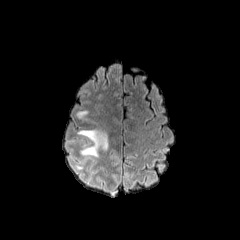
FLAIR MR image.
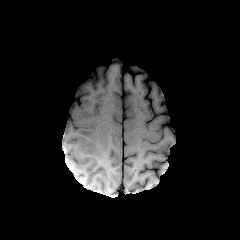
T1-weighted magnetic resonance.
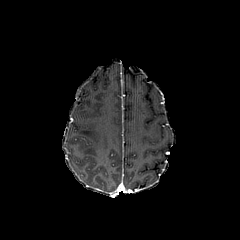
Post-contrast T1-weighted magnetic resonance of the same slice.
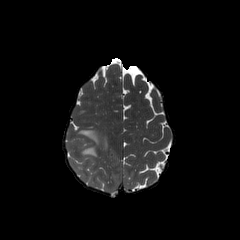
Same slice, T2-weighted MR.
Image size 240x240; Head
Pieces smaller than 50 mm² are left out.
The 2 largest peritumoral edema regions are located at {"x1": 78, "y1": 127, "x2": 107, "y2": 156}, {"x1": 77, "y1": 110, "x2": 88, "y2": 118}.